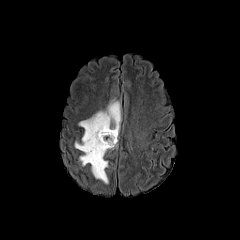
FLAIR MRI.
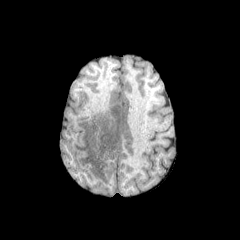
T1-weighted MR.
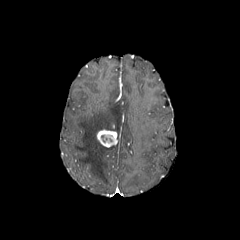
Same slice, post-contrast T1-weighted MR.
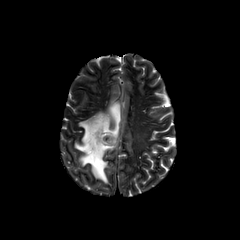
T2-weighted MR image of the same slice.
Brain
Annotated regions:
* enhancing tumor: x1=97 y1=129 x2=117 y2=147
* peritumoral edema: x1=74 y1=101 x2=121 y2=183
* necrotic tumor core: x1=100 y1=134 x2=112 y2=143